Axial view, Head, 240x240, Slice 82/155
FLAIR magnetic resonance.
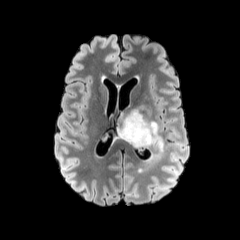
T1-weighted magnetic resonance.
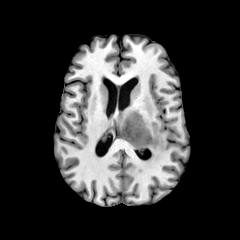
Post-contrast T1-weighted MRI.
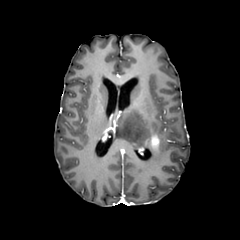
T2-weighted MRI.
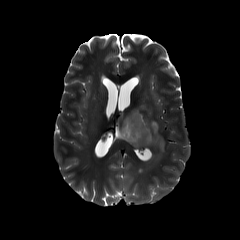
enhancing tumor: box=[145, 134, 159, 148]
peritumoral edema: box=[118, 109, 164, 162]